FLAIR MR image.
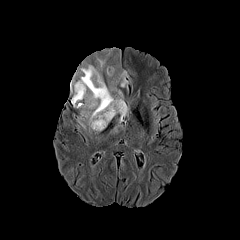
T1-weighted magnetic resonance.
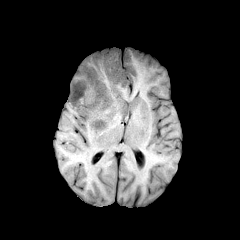
Post-contrast T1-weighted MR.
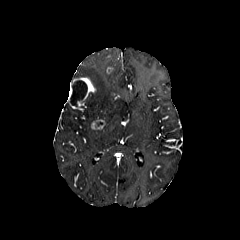
T2-weighted magnetic resonance.
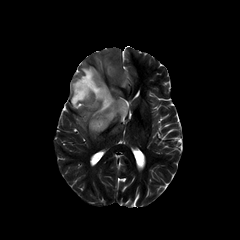
Axial view, Head
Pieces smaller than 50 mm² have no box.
enhancing tumor: 106,66,115,74; 68,77,96,109; 91,117,105,129 | necrotic tumor core: 70,80,87,106 | peritumoral edema: 73,48,128,133